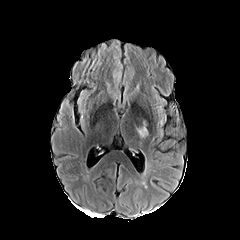
FLAIR MRI.
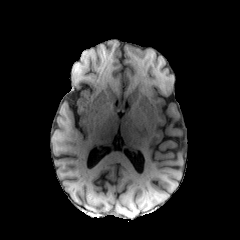
Same slice, T1-weighted MRI.
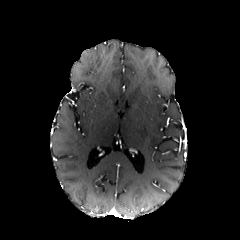
Post-contrast T1-weighted magnetic resonance.
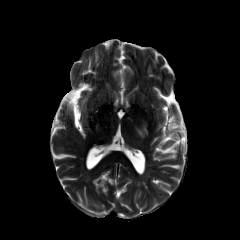
T2-weighted MR image.
Axial plane; Head
• peritumoral edema: region(135, 120, 148, 138)